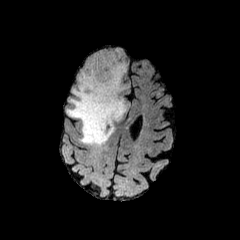
FLAIR MR.
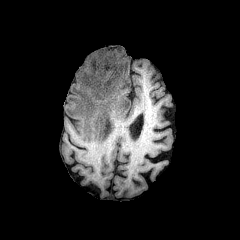
Same slice, T1-weighted MR image.
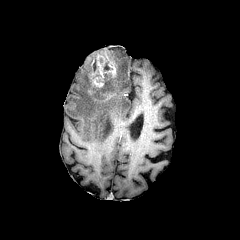
Same slice, post-contrast T1-weighted MR.
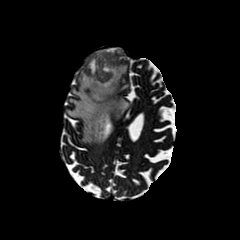
Same slice, T2-weighted MRI.
Axial plane. Brain.
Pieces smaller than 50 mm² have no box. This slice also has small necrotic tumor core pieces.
enhancing tumor — (86,48,117,99)
peritumoral edema — (66,49,128,146)